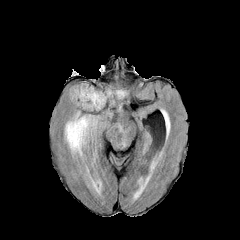
FLAIR MR.
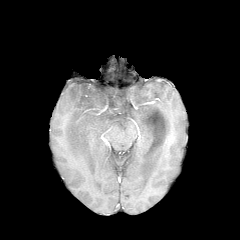
T1-weighted magnetic resonance.
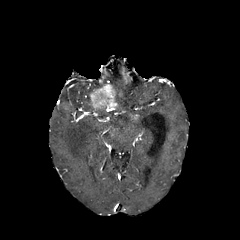
Same slice, post-contrast T1-weighted MRI.
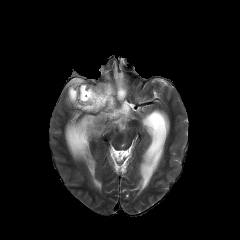
T2-weighted MRI.
Axial plane, Brain
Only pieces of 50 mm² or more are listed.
enhancing tumor: bbox(88, 83, 122, 111) | peritumoral edema: bbox(69, 84, 93, 110); bbox(65, 115, 98, 158); bbox(116, 89, 126, 99)